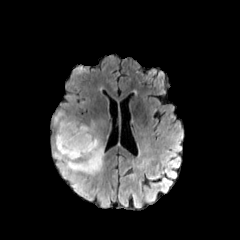
FLAIR MR.
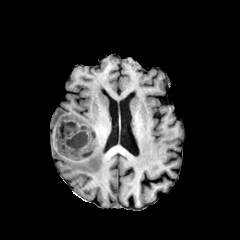
T1-weighted MR of the same slice.
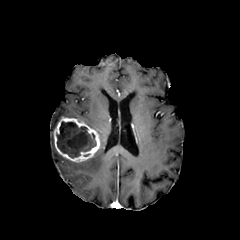
Post-contrast T1-weighted magnetic resonance of the same slice.
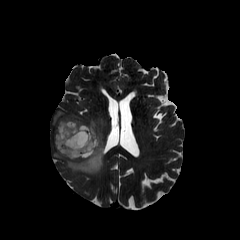
T2-weighted MR of the same slice.
Axial view, Head
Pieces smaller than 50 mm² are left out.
necrotic tumor core: l=57, t=121, r=96, b=157 | peritumoral edema: l=51, t=119, r=106, b=199; l=52, t=109, r=81, b=131 | enhancing tumor: l=53, t=117, r=100, b=161